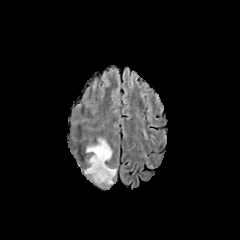
FLAIR MR image.
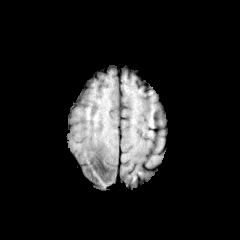
T1-weighted MR image.
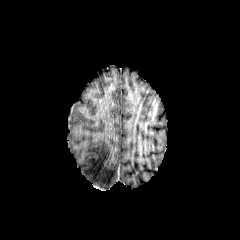
Same slice, post-contrast T1-weighted MR image.
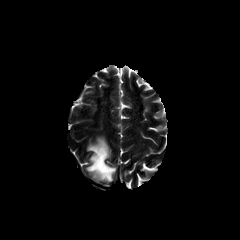
T2-weighted MR.
Image size 240x240. Brain.
peritumoral edema: [85,138,116,184]